Slice 108 of 155 | Head | Image width 240 mm, 1.00 mm slice spacing
FLAIR MR.
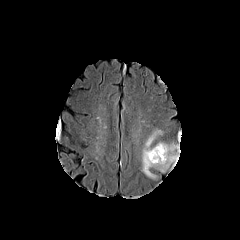
T1-weighted MR.
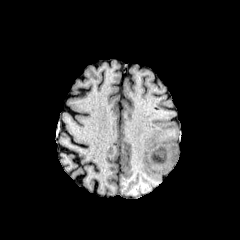
Post-contrast T1-weighted MR.
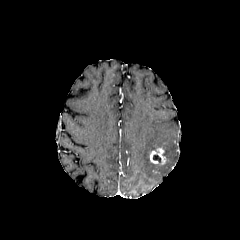
T2-weighted MRI.
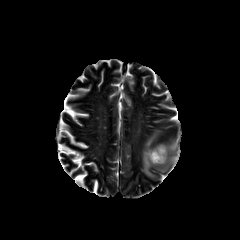
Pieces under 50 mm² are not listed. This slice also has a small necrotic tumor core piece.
<segmentation>
  <peritumoral_edema>x1=142 y1=130 x2=178 y2=178</peritumoral_edema>
  <enhancing_tumor>x1=150 y1=146 x2=166 y2=164</enhancing_tumor>
</segmentation>